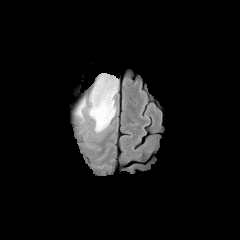
FLAIR MR image.
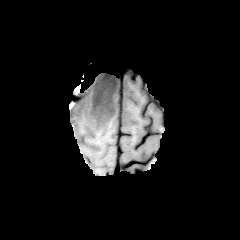
Same slice, T1-weighted MRI.
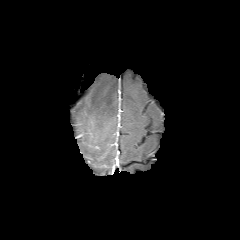
Same slice, post-contrast T1-weighted MR.
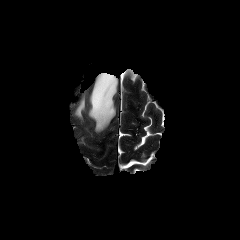
T2-weighted magnetic resonance of the same slice.
240x240. Axial plane. Brain.
peritumoral_edema:
  - [76,99,85,118]
  - [88,73,117,132]